Slice 61/155, Image width 240 mm
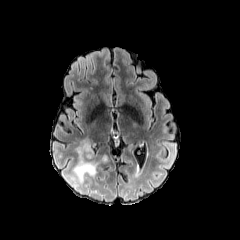
FLAIR MR.
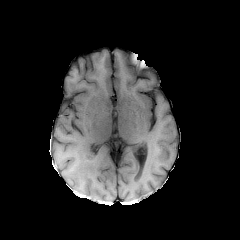
T1-weighted MR of the same slice.
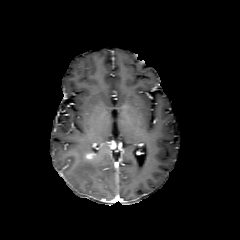
Post-contrast T1-weighted MR.
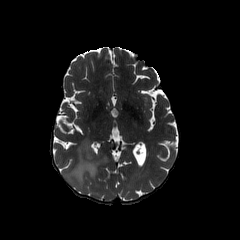
Same slice, T2-weighted MRI.
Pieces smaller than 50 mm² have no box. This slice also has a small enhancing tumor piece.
• peritumoral edema: box(73, 137, 109, 182)